FLAIR MRI.
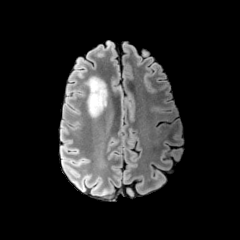
T1-weighted MRI.
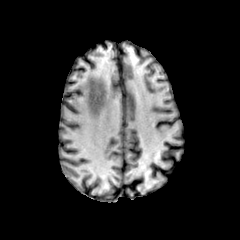
Post-contrast T1-weighted MR image.
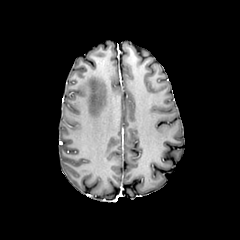
T2-weighted MR.
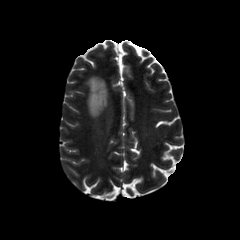
peritumoral edema: bbox(85, 76, 107, 117)